FLAIR MR image.
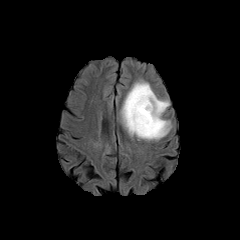
T1-weighted magnetic resonance.
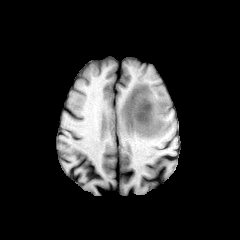
Post-contrast T1-weighted MR.
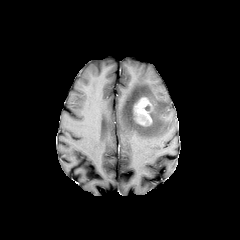
T2-weighted magnetic resonance.
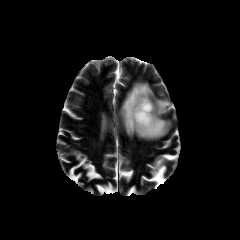
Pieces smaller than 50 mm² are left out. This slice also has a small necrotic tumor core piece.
* enhancing tumor: (left=133, top=97, right=152, bottom=125)
* peritumoral edema: (left=120, top=80, right=171, bottom=140)